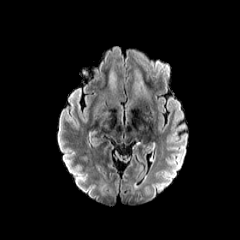
FLAIR MR image.
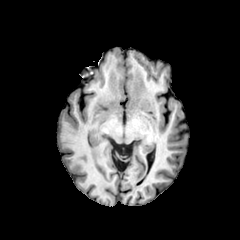
T1-weighted MR.
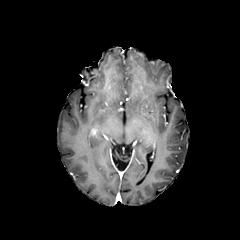
Same slice, post-contrast T1-weighted MR image.
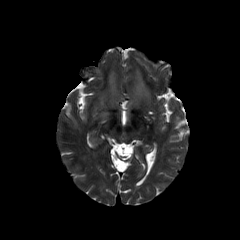
T2-weighted MR image of the same slice.
Axial slice
2 peritumoral edema regions are located at [x1=133, y1=71, x2=150, y2=97], [x1=109, y1=71, x2=116, y2=92].